FLAIR MRI.
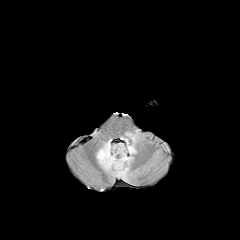
T1-weighted MRI.
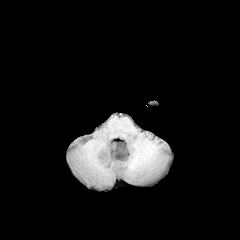
Post-contrast T1-weighted MR image.
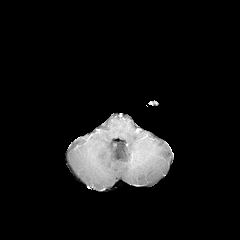
T2-weighted magnetic resonance.
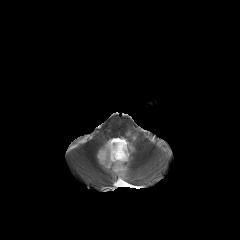
Head, Image size 240x240, Axial slice
The peritumoral edema lies within <bbox>96, 139, 135, 178</bbox>.